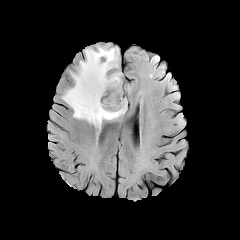
FLAIR MRI.
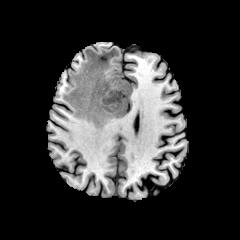
T1-weighted magnetic resonance.
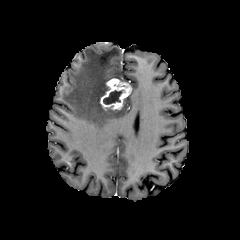
Post-contrast T1-weighted MR image.
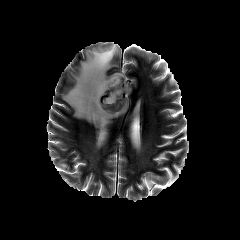
T2-weighted MRI of the same slice.
Head
necrotic_tumor_core:
  - 103,90,122,104
enhancing_tumor:
  - 100,78,131,109
peritumoral_edema:
  - 62,45,127,129